Axial view
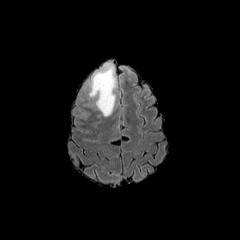
FLAIR MR.
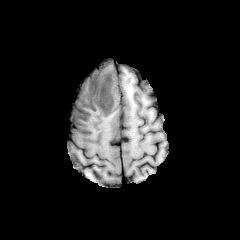
Same slice, T1-weighted magnetic resonance.
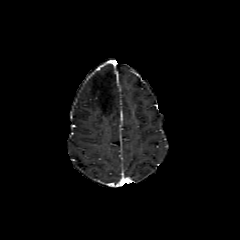
Post-contrast T1-weighted MR.
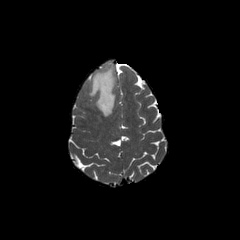
T2-weighted MR image.
The peritumoral edema is at (x1=88, y1=62, x2=117, y2=116).